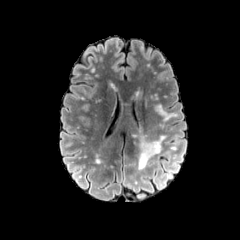
FLAIR magnetic resonance.
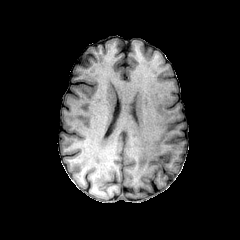
T1-weighted MR of the same slice.
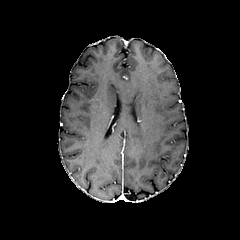
Post-contrast T1-weighted magnetic resonance.
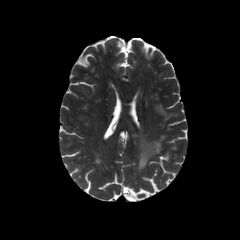
Same slice, T2-weighted MR image.
Image size 240x240. Head. Axial view.
Segmented structures:
- peritumoral edema: region(138, 136, 163, 170)